240x240. Brain.
FLAIR MR image.
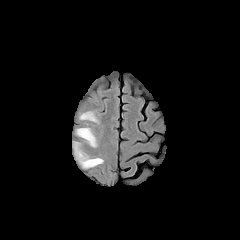
T1-weighted MR.
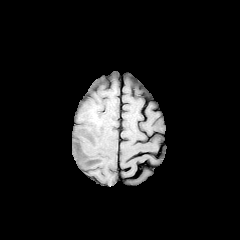
Post-contrast T1-weighted MR.
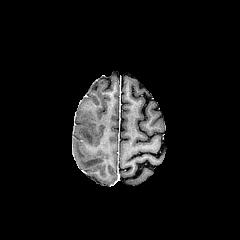
T2-weighted MRI.
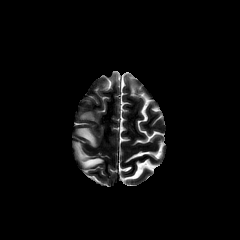
peritumoral edema at [x1=74, y1=142, x2=103, y2=168], [x1=80, y1=112, x2=97, y2=121], [x1=76, y1=128, x2=96, y2=146]